240x240 | Slice 107 of 155 | Head | Image width 240 mm
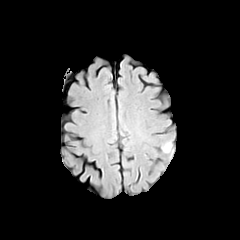
FLAIR magnetic resonance.
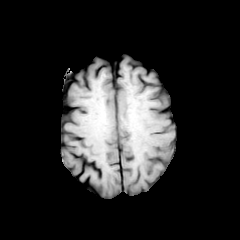
T1-weighted MRI.
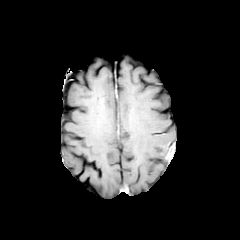
Post-contrast T1-weighted MRI.
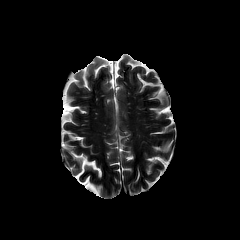
Same slice, T2-weighted MR.
enhancing tumor: (x1=166, y1=146, x2=173, y2=160)
peritumoral edema: (x1=161, y1=141, x2=172, y2=153)